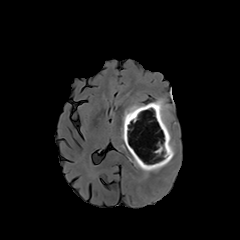
FLAIR MR.
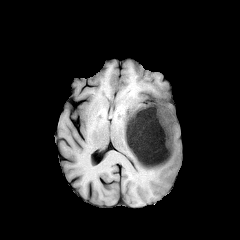
T1-weighted MRI.
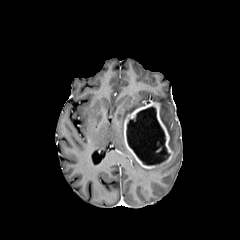
Post-contrast T1-weighted MR image of the same slice.
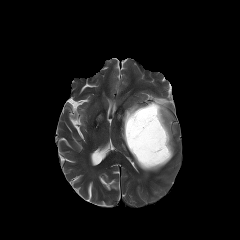
T2-weighted MRI of the same slice.
Image size 240x240; Axial slice; Brain
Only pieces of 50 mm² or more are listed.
necrotic tumor core at [126, 106, 169, 165]
peritumoral edema at [134, 158, 169, 171], [155, 98, 174, 156], [121, 103, 144, 140]
enhancing tumor at [124, 102, 173, 168]